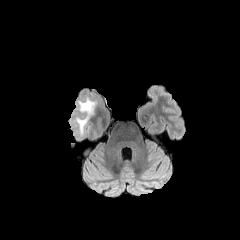
FLAIR MR image.
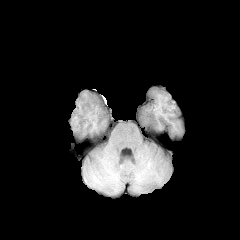
Same slice, T1-weighted MR image.
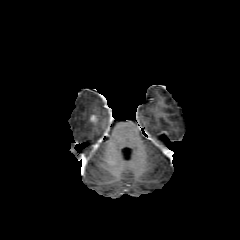
Same slice, post-contrast T1-weighted MRI.
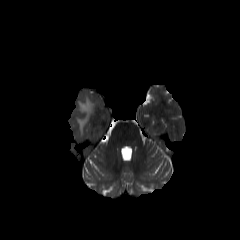
T2-weighted MRI.
Axial slice, 240x240, Brain
peritumoral_edema:
  - bbox(76, 96, 95, 134)
enhancing_tumor:
  - bbox(89, 115, 98, 122)